FLAIR magnetic resonance.
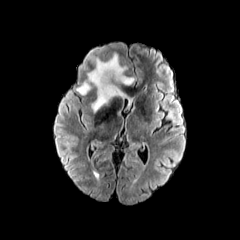
T1-weighted magnetic resonance.
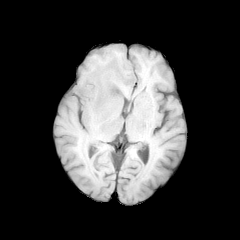
Post-contrast T1-weighted magnetic resonance.
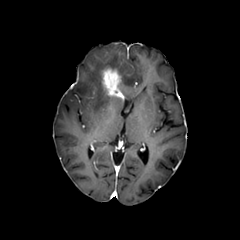
T2-weighted MR.
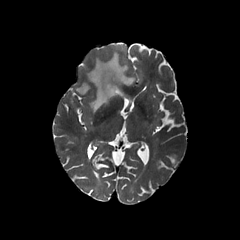
Image size 240x240
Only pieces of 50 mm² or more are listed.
* necrotic tumor core: [x1=108, y1=74, x2=115, y2=88]
* enhancing tumor: [x1=101, y1=66, x2=124, y2=99]
* peritumoral edema: [x1=76, y1=52, x2=134, y2=112], [x1=122, y1=91, x2=132, y2=104]